FLAIR MR.
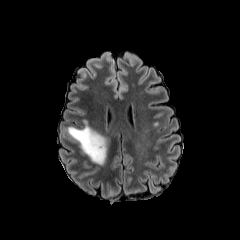
T1-weighted magnetic resonance.
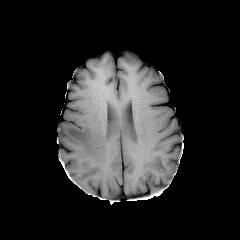
Post-contrast T1-weighted MR.
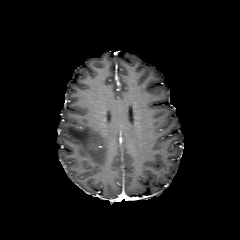
T2-weighted magnetic resonance.
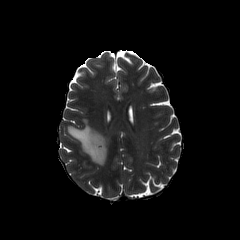
Axial plane, Brain
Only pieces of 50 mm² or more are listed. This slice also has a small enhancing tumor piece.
peritumoral edema: 66 121 107 165